Slice 82 of 155; Image size 240x240; Image width 240 mm
FLAIR MR image.
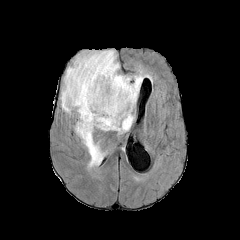
T1-weighted magnetic resonance.
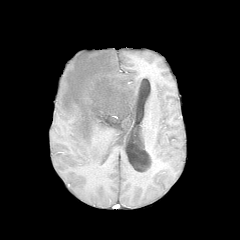
Post-contrast T1-weighted MRI.
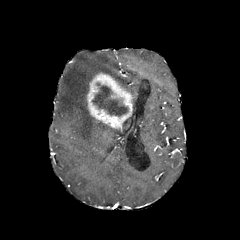
T2-weighted magnetic resonance.
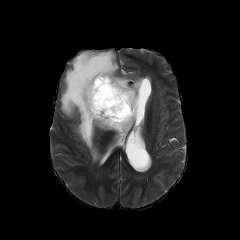
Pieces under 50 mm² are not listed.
necrotic tumor core: box(92, 86, 127, 116)
peritumoral edema: box(60, 50, 151, 166)
enhancing tumor: box(86, 72, 133, 130)